FLAIR magnetic resonance.
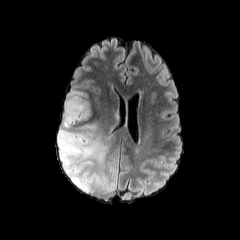
T1-weighted MR image.
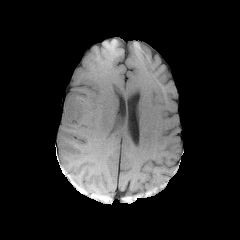
Post-contrast T1-weighted magnetic resonance.
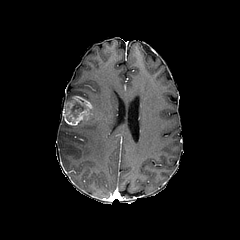
T2-weighted MR image.
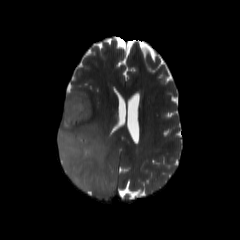
Axial plane
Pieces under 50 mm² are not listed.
<segmentation>
  <peritumoral_edema>58 109 116 194, 65 91 90 104</peritumoral_edema>
  <enhancing_tumor>63 96 92 125</enhancing_tumor>
  <necrotic_tumor_core>71 101 86 116</necrotic_tumor_core>
</segmentation>